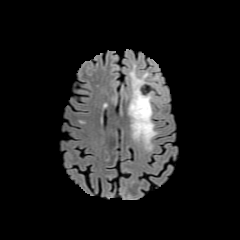
FLAIR MRI.
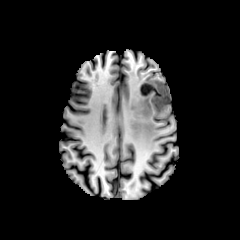
T1-weighted MR.
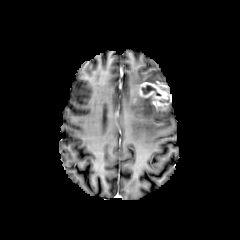
Post-contrast T1-weighted magnetic resonance of the same slice.
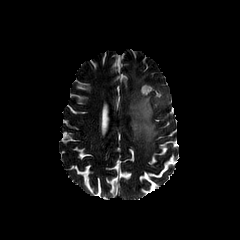
T2-weighted MRI.
Axial view. 240x240 px.
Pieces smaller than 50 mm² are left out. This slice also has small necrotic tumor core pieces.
Segmented structures:
• enhancing tumor: left=136, top=82, right=170, bottom=109
• peritumoral edema: left=128, top=66, right=158, bottom=149